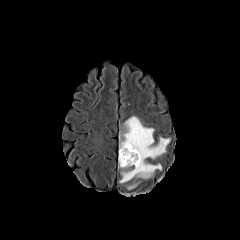
FLAIR MR image.
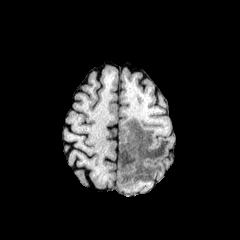
Same slice, T1-weighted MR image.
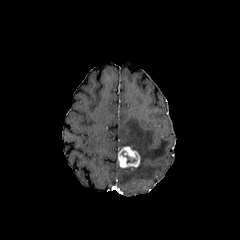
Same slice, post-contrast T1-weighted MR.
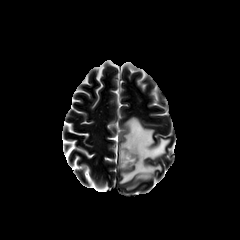
T2-weighted MR of the same slice.
240x240 px. Head. Axial plane.
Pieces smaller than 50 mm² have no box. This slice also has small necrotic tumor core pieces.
The largest peritumoral edema region appears at (left=118, top=116, right=170, bottom=183). The enhancing tumor is at (left=118, top=146, right=140, bottom=168).